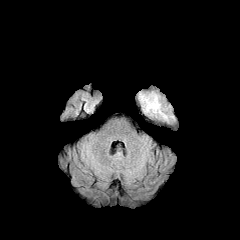
FLAIR MRI.
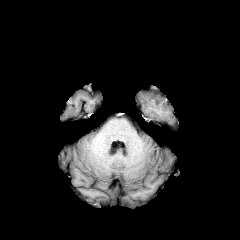
T1-weighted MR image of the same slice.
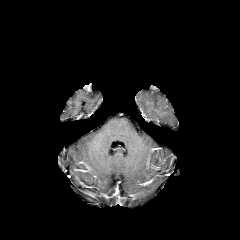
Post-contrast T1-weighted magnetic resonance.
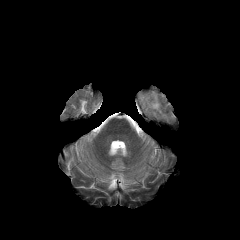
T2-weighted MR.
Axial plane; Brain
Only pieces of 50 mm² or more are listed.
{"peritumoral_edema": ["x1=139, y1=92, x2=167, y2=119"]}